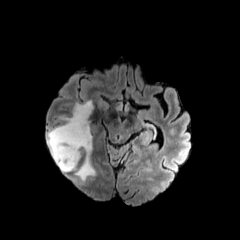
FLAIR MR.
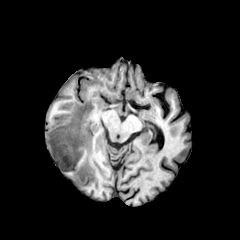
T1-weighted magnetic resonance.
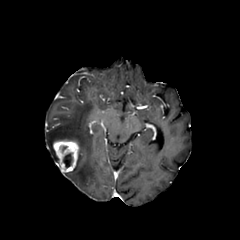
Post-contrast T1-weighted MR.
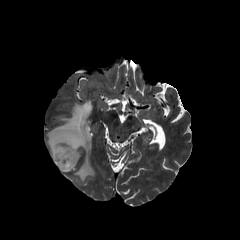
T2-weighted magnetic resonance.
Brain, Axial slice
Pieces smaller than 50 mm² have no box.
The largest necrotic tumor core region is located at <bbox>63, 153, 72, 167</bbox>. The largest peritumoral edema region lies within <bbox>47, 101, 95, 182</bbox>. The enhancing tumor is at <bbox>53, 140, 79, 172</bbox>.